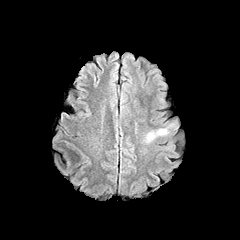
FLAIR MR.
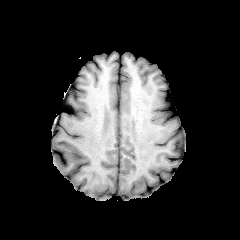
Same slice, T1-weighted MR image.
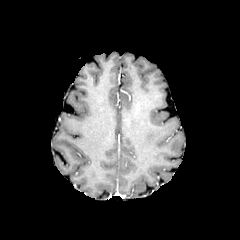
Post-contrast T1-weighted MR image of the same slice.
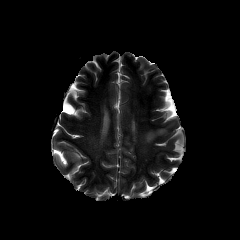
T2-weighted MR.
Head
The peritumoral edema is located at left=145, top=129, right=166, bottom=142.